FLAIR MRI.
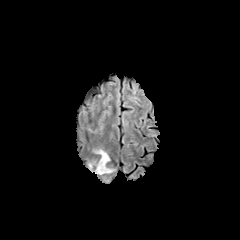
T1-weighted MRI.
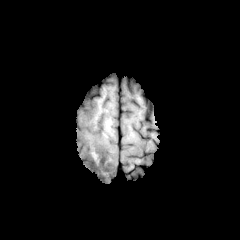
Post-contrast T1-weighted MR.
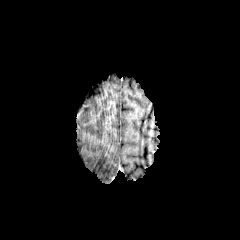
T2-weighted magnetic resonance.
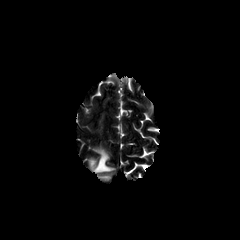
Image size 240x240, Axial plane
peritumoral_edema:
  - 88, 149, 114, 174